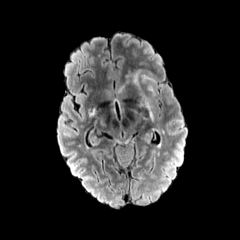
FLAIR magnetic resonance.
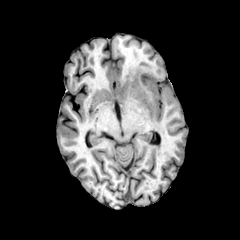
T1-weighted magnetic resonance.
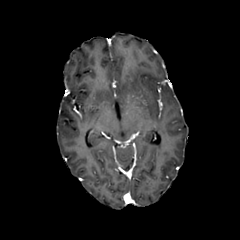
Post-contrast T1-weighted magnetic resonance.
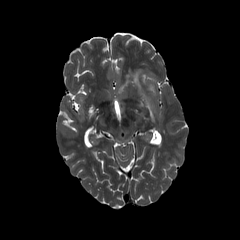
T2-weighted MR image.
Head
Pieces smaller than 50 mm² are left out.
peritumoral edema = region(127, 69, 154, 119); region(147, 84, 154, 95)